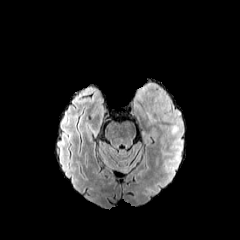
FLAIR MR image.
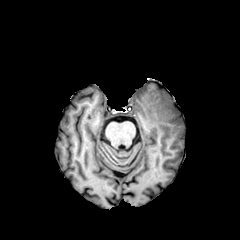
T1-weighted magnetic resonance of the same slice.
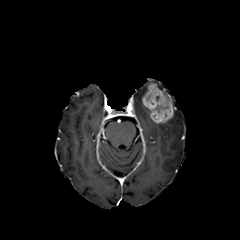
Post-contrast T1-weighted MR image of the same slice.
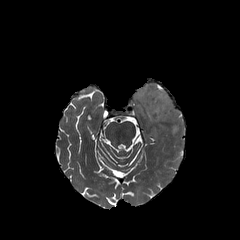
T2-weighted MRI.
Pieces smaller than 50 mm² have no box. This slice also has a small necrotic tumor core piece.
peritumoral edema = bbox=[168, 110, 183, 135]; bbox=[135, 85, 147, 102]
enhancing tumor = bbox=[142, 83, 175, 123]